240x240 px; Slice 119/155; Axial plane; Head
FLAIR MRI.
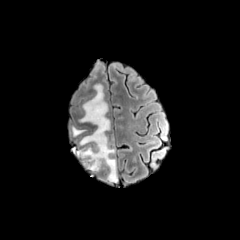
T1-weighted MR image.
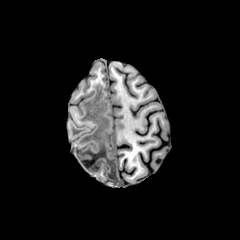
Post-contrast T1-weighted MR image.
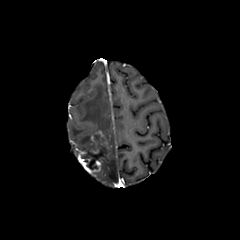
T2-weighted MRI.
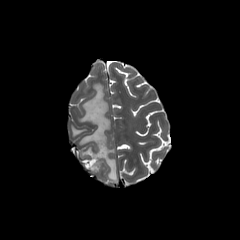
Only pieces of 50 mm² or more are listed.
peritumoral edema: region(71, 127, 84, 136); region(72, 84, 117, 181)
necrotic tumor core: region(81, 135, 108, 169)
enhancing tumor: region(75, 130, 110, 173)